Axial plane, Slice 98 of 155
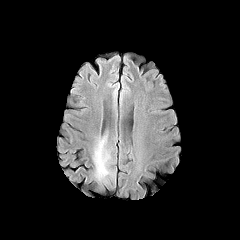
FLAIR magnetic resonance.
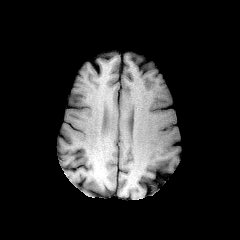
T1-weighted MRI.
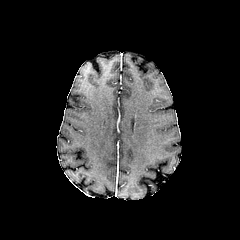
Post-contrast T1-weighted MRI.
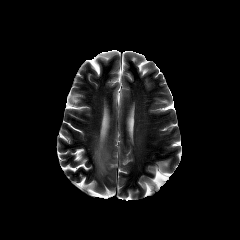
Same slice, T2-weighted MRI.
The peritumoral edema appears at 94, 147, 108, 178.